Head. Image size 240x240.
FLAIR magnetic resonance.
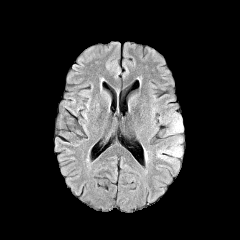
T1-weighted MR.
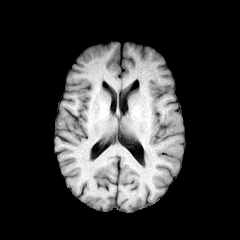
Post-contrast T1-weighted magnetic resonance.
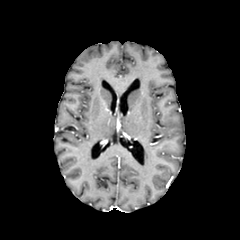
T2-weighted MRI.
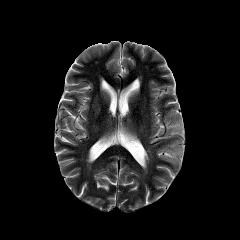
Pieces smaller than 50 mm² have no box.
* peritumoral edema: x1=155 y1=110 x2=184 y2=175